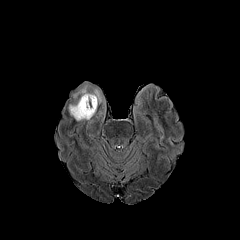
FLAIR MR image.
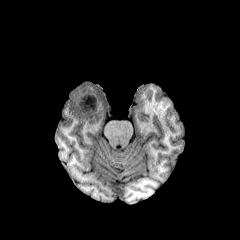
Same slice, T1-weighted magnetic resonance.
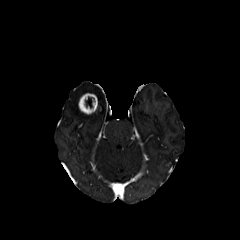
Post-contrast T1-weighted MR.
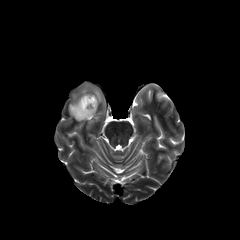
T2-weighted MR.
enhancing tumor: 78 93 97 114
peritumoral edema: 68 82 105 128
necrotic tumor core: 85 97 92 107